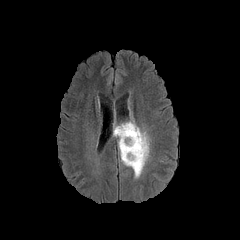
FLAIR MR image.
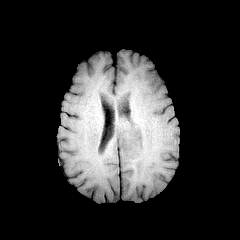
T1-weighted MRI.
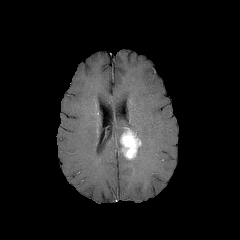
Post-contrast T1-weighted MR image.
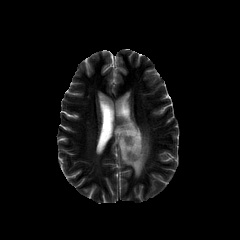
T2-weighted MRI.
Axial view
enhancing tumor: box=[120, 127, 141, 159] | peritumoral edema: box=[113, 118, 149, 178]